FLAIR MR.
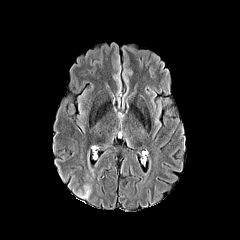
T1-weighted MR.
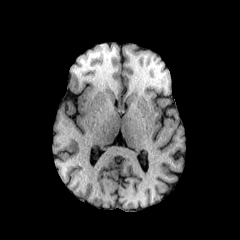
Post-contrast T1-weighted MRI.
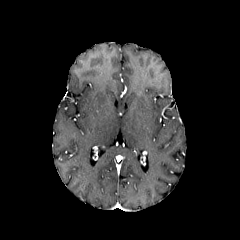
T2-weighted magnetic resonance.
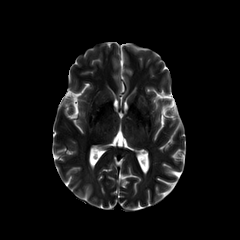
Head, 240x240 px
Segmented structures:
* peritumoral edema: <bbox>77, 184, 91, 199</bbox>